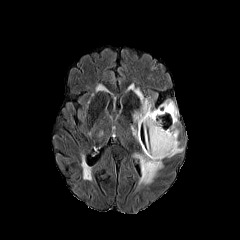
FLAIR MR image.
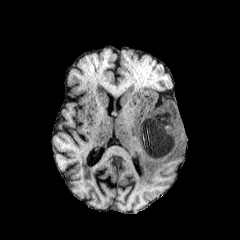
Same slice, T1-weighted MRI.
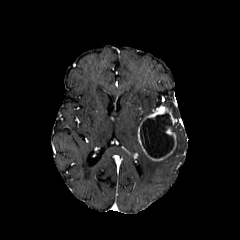
Post-contrast T1-weighted magnetic resonance of the same slice.
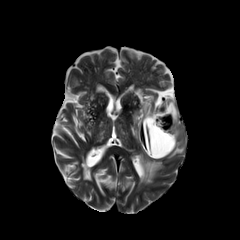
T2-weighted MR image of the same slice.
Axial view. Brain.
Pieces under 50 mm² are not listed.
enhancing tumor: 137,105,177,161 | necrotic tumor core: 140,113,173,158 | peritumoral edema: 138,152,163,185; 131,125,137,139; 133,89,155,126; 161,100,178,119; 169,140,183,157